240x240 px, Image covers 240 mm x 240 mm
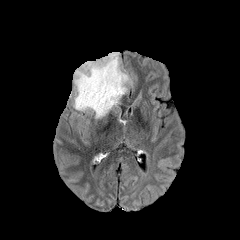
FLAIR MR image.
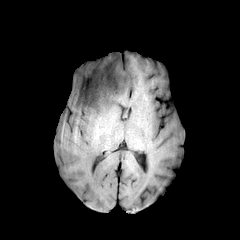
Same slice, T1-weighted MR image.
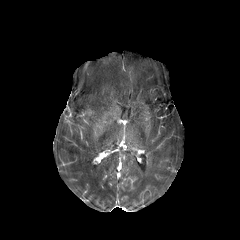
Same slice, post-contrast T1-weighted magnetic resonance.
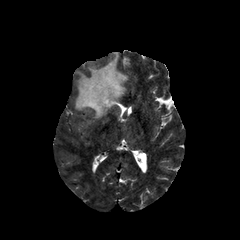
Same slice, T2-weighted magnetic resonance.
The peritumoral edema is at (x1=73, y1=52, x2=128, y2=118).